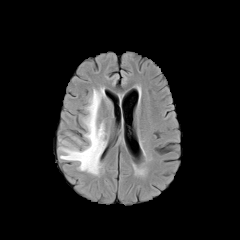
FLAIR MR image.
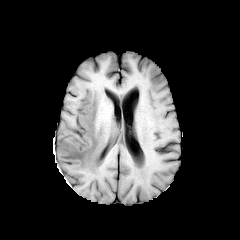
T1-weighted magnetic resonance of the same slice.
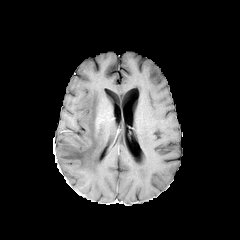
Post-contrast T1-weighted magnetic resonance.
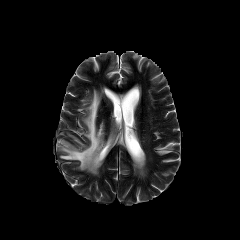
T2-weighted magnetic resonance of the same slice.
Head
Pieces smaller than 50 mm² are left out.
The largest peritumoral edema region is bounded by 59,88,106,174.